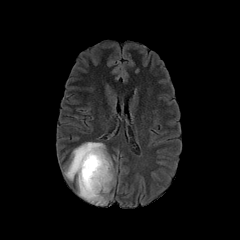
FLAIR MR.
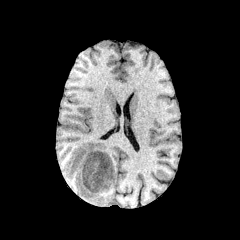
Same slice, T1-weighted magnetic resonance.
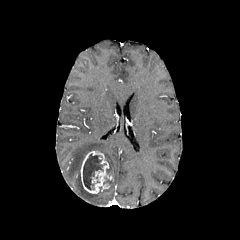
Post-contrast T1-weighted MR image.
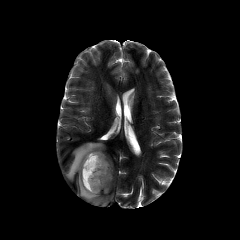
T2-weighted MRI.
Brain | Axial plane
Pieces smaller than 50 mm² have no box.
<segmentation>
  <peritumoral_edema>64 142 113 205</peritumoral_edema>
  <necrotic_tumor_core>83 154 102 189</necrotic_tumor_core>
  <enhancing_tumor>80 150 113 193</enhancing_tumor>
</segmentation>